Brain, 240x240
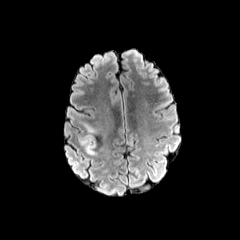
FLAIR MRI.
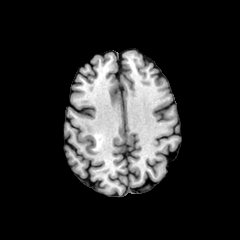
T1-weighted magnetic resonance.
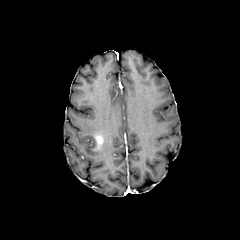
Post-contrast T1-weighted MR.
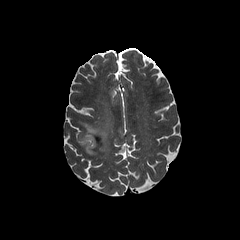
T2-weighted magnetic resonance.
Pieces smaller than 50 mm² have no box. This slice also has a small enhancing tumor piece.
peritumoral edema: {"x1": 80, "y1": 124, "x2": 96, "y2": 155}